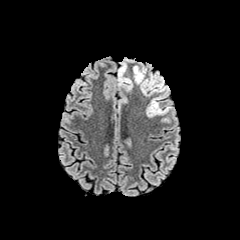
FLAIR MRI.
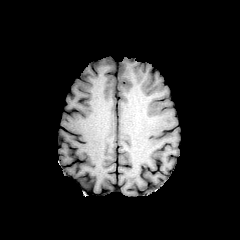
T1-weighted MR image.
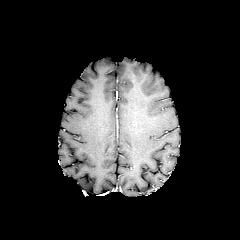
Post-contrast T1-weighted magnetic resonance of the same slice.
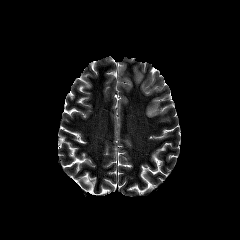
T2-weighted magnetic resonance.
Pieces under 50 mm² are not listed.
peritumoral edema: bounding box <box>133,66,167,95</box>, <box>118,62,132,90</box>, <box>146,96,170,117</box>